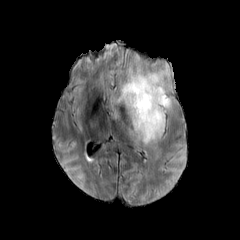
FLAIR MR image.
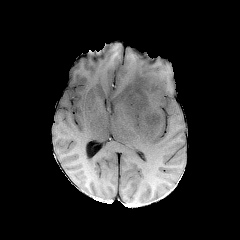
T1-weighted MRI of the same slice.
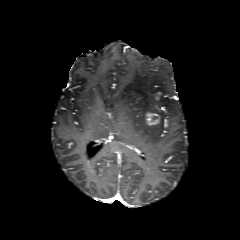
Post-contrast T1-weighted magnetic resonance.
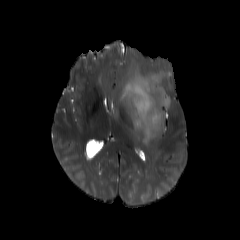
T2-weighted magnetic resonance.
Axial plane; Brain
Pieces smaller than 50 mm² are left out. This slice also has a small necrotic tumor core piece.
enhancing_tumor:
  - (x1=145, y1=112, x2=160, y2=126)
peritumoral_edema:
  - (x1=116, y1=65, x2=171, y2=144)